FLAIR MRI.
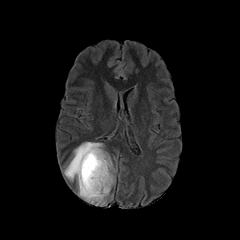
T1-weighted MRI.
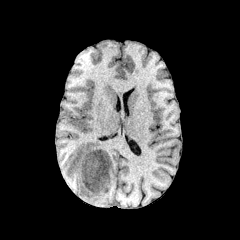
Post-contrast T1-weighted MRI.
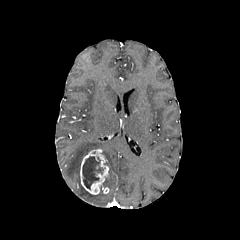
T2-weighted MR image.
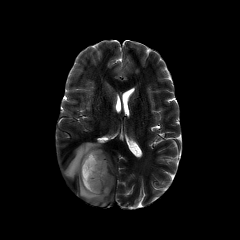
240x240 | Axial slice
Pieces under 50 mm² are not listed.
The largest necrotic tumor core region is bounded by [82, 156, 103, 189]. The largest enhancing tumor region appears at [80, 149, 109, 194]. 2 peritumoral edema regions are bounded by [102, 149, 114, 190], [64, 142, 108, 205].